Slice index 89, Brain
FLAIR MRI.
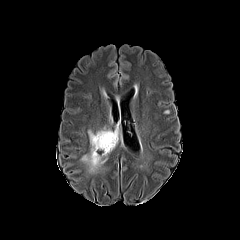
T1-weighted MRI.
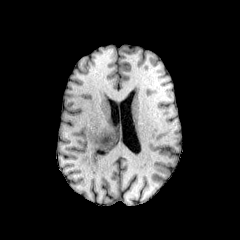
Post-contrast T1-weighted MR.
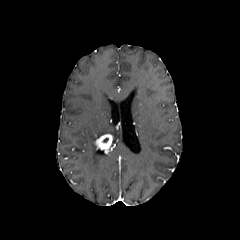
T2-weighted MR image.
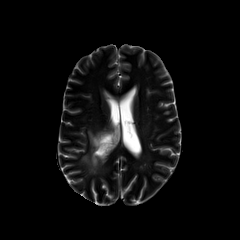
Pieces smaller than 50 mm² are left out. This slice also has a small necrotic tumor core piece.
{"enhancing_tumor": ["96, 134, 112, 150"], "peritumoral_edema": ["81, 127, 115, 173"]}